FLAIR MRI.
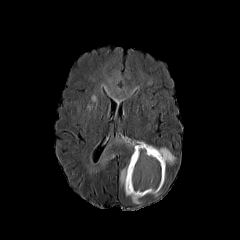
T1-weighted MRI.
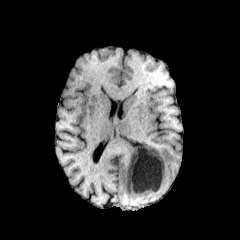
Post-contrast T1-weighted MR image.
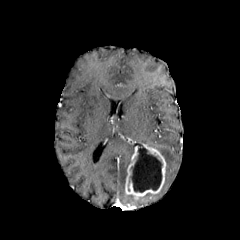
T2-weighted MRI.
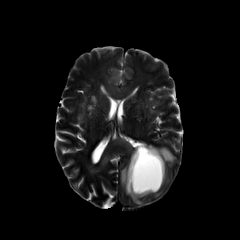
240x240
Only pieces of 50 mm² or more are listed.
{"enhancing_tumor": ["125:143:166:199"], "necrotic_tumor_core": ["130:144:162:192"], "peritumoral_edema": ["126:195:141:204", "92:137:132:187", "109:87:131:98", "156:147:175:164"]}